Slice index 118; Image width 240 mm, 1.00 mm slice spacing
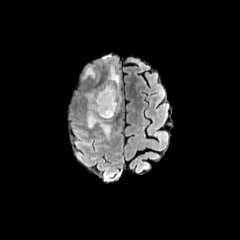
FLAIR magnetic resonance.
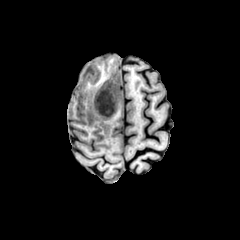
T1-weighted magnetic resonance.
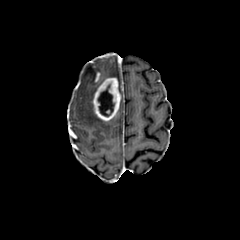
Post-contrast T1-weighted magnetic resonance.
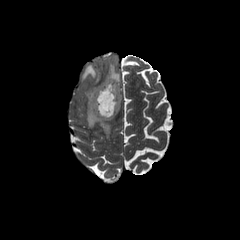
T2-weighted MRI of the same slice.
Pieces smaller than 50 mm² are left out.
{
  "enhancing_tumor": [
    "92 78 121 120"
  ],
  "peritumoral_edema": [
    "85 91 111 138",
    "83 66 95 79",
    "108 65 119 90"
  ],
  "necrotic_tumor_core": [
    "98 84 114 116"
  ]
}